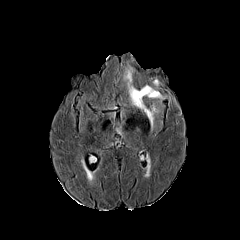
FLAIR MRI.
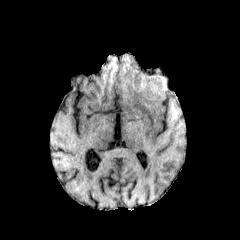
Same slice, T1-weighted MR image.
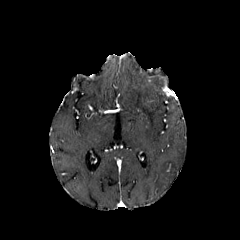
Post-contrast T1-weighted magnetic resonance.
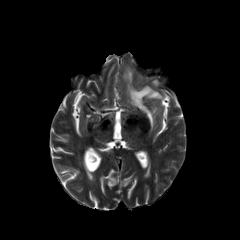
T2-weighted MR.
Axial plane
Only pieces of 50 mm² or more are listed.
The largest peritumoral edema region appears at [x1=124, y1=68, x2=163, y2=128].